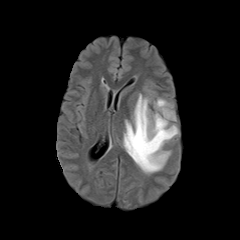
FLAIR MRI.
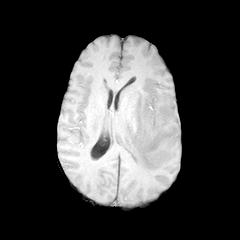
T1-weighted MR image.
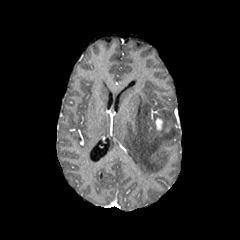
Same slice, post-contrast T1-weighted magnetic resonance.
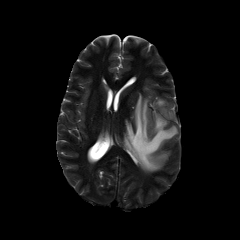
T2-weighted MR.
Brain.
Findings:
- enhancing tumor: 156 119 162 130
- peritumoral edema: 123 90 179 173